Brain
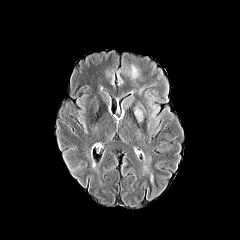
FLAIR magnetic resonance.
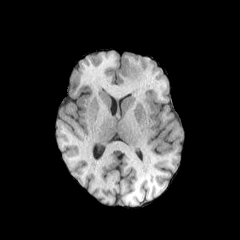
T1-weighted magnetic resonance.
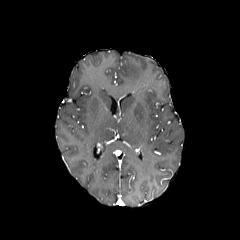
Post-contrast T1-weighted MR of the same slice.
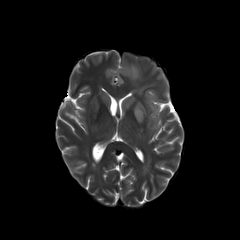
T2-weighted MR image.
peritumoral edema = (133,105,144,125), (131,65,137,77), (121,95,134,114)